Head.
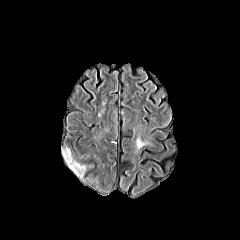
FLAIR magnetic resonance.
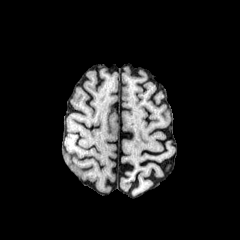
T1-weighted MRI.
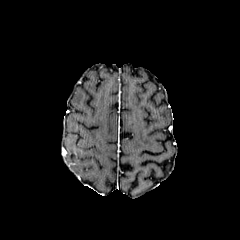
Same slice, post-contrast T1-weighted magnetic resonance.
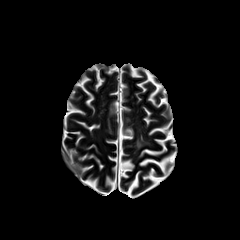
Same slice, T2-weighted MRI.
peritumoral edema: bbox(64, 148, 75, 163); bbox(70, 163, 86, 178)